FLAIR magnetic resonance.
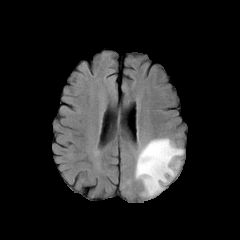
T1-weighted MRI.
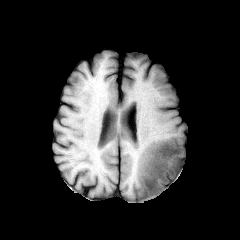
Post-contrast T1-weighted magnetic resonance.
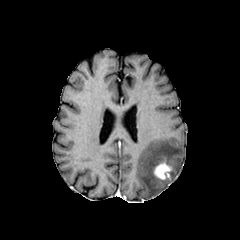
T2-weighted MRI.
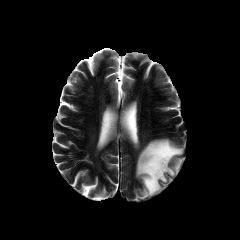
Axial plane
{
  "peritumoral_edema": [
    "[135,138,183,197]"
  ],
  "enhancing_tumor": [
    "[153,159,172,180]"
  ]
}